Axial slice, Head, Slice 103/155
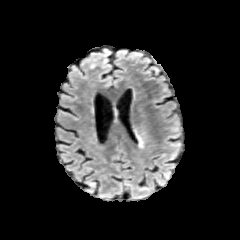
FLAIR MR.
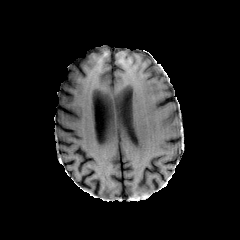
T1-weighted MR image of the same slice.
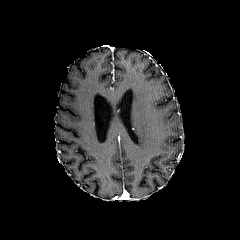
Same slice, post-contrast T1-weighted MR image.
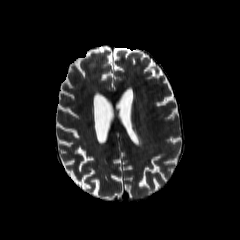
T2-weighted MR.
The peritumoral edema appears at rect(133, 126, 143, 148).